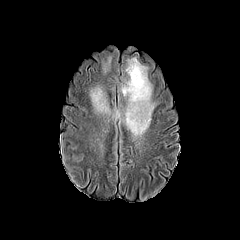
FLAIR magnetic resonance.
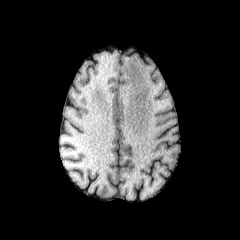
Same slice, T1-weighted MR image.
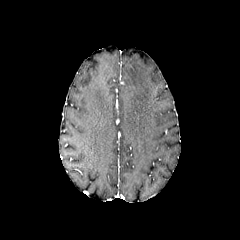
Post-contrast T1-weighted magnetic resonance of the same slice.
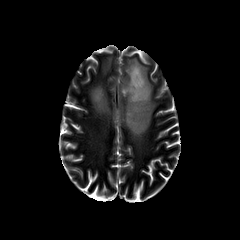
T2-weighted MR image.
Image size 240x240
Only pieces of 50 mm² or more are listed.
peritumoral_edema:
  - [121,58,154,136]
  - [91,87,108,112]